FLAIR magnetic resonance.
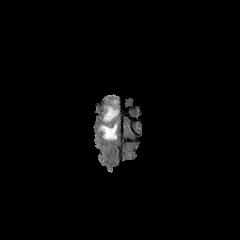
T1-weighted MR.
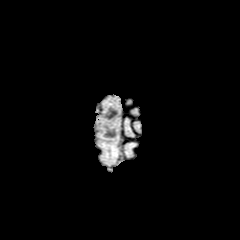
Post-contrast T1-weighted MR.
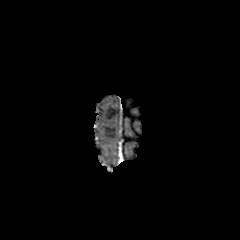
T2-weighted MRI.
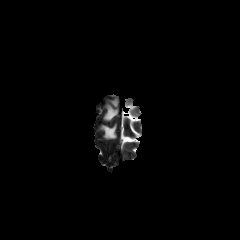
240x240 px, Brain
<segmentation>
  <peritumoral_edema><bbox>105, 107, 117, 120</bbox>, <bbox>101, 125, 116, 139</bbox></peritumoral_edema>
</segmentation>